Axial view, Head, 240x240 px, Image width 240 mm, 1.00 mm slice spacing
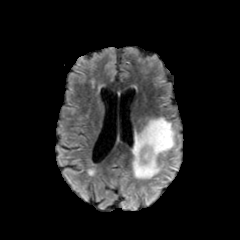
FLAIR magnetic resonance.
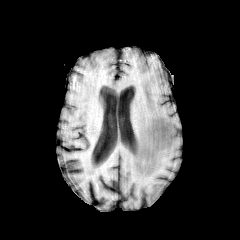
T1-weighted magnetic resonance.
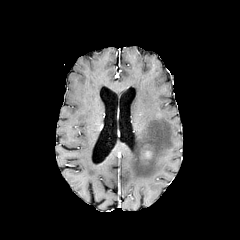
Post-contrast T1-weighted MRI of the same slice.
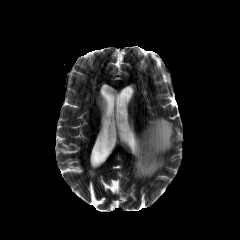
T2-weighted MR of the same slice.
peritumoral edema: bounding box (x1=132, y1=117, x2=174, y2=178)
enhancing tumor: bounding box (x1=143, y1=150, x2=151, y2=158)